Axial slice | 240x240
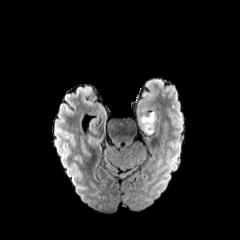
FLAIR MR image.
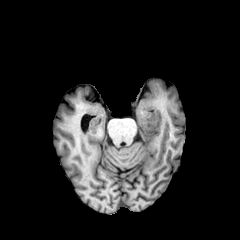
T1-weighted MR image.
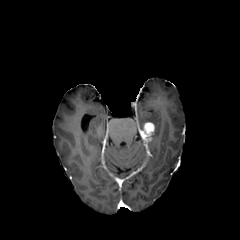
Post-contrast T1-weighted MR image.
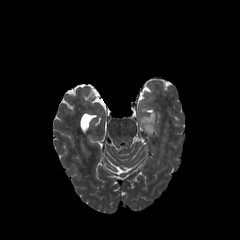
T2-weighted MR of the same slice.
Segmented structures:
* peritumoral edema: [139, 112, 155, 130]
* enhancing tumor: [141, 122, 154, 141]